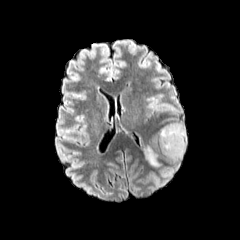
FLAIR magnetic resonance.
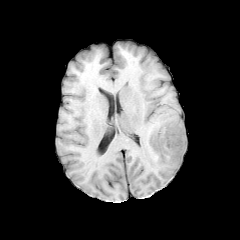
T1-weighted MR image of the same slice.
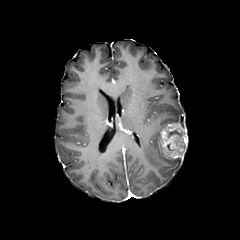
Same slice, post-contrast T1-weighted magnetic resonance.
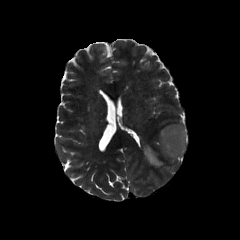
T2-weighted magnetic resonance.
Axial slice
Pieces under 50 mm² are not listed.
<segmentation>
  <enhancing_tumor>(x1=158, y1=122, x2=187, y2=159)</enhancing_tumor>
  <necrotic_tumor_core>(x1=168, y1=130, x2=181, y2=136)</necrotic_tumor_core>
  <peritumoral_edema>(x1=144, y1=141, x2=165, y2=167), (x1=154, y1=126, x2=165, y2=140)</peritumoral_edema>
</segmentation>